FLAIR magnetic resonance.
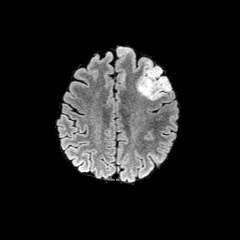
T1-weighted MR.
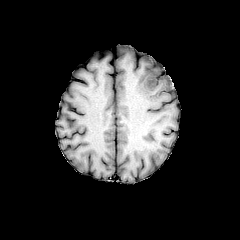
Post-contrast T1-weighted MR.
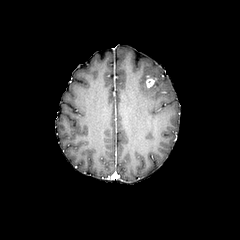
T2-weighted MR.
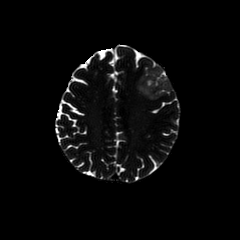
Brain
{
  "peritumoral_edema": [
    "[137,63,170,99]"
  ],
  "enhancing_tumor": [
    "[145,76,155,88]"
  ]
}